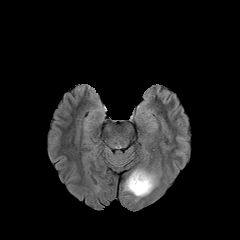
FLAIR MRI.
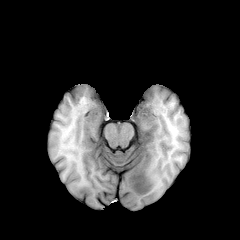
T1-weighted magnetic resonance.
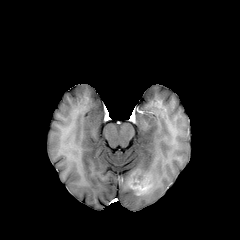
Post-contrast T1-weighted MR.
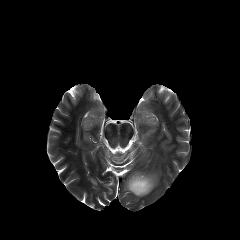
Same slice, T2-weighted MRI.
Head
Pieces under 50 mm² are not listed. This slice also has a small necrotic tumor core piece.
peritumoral edema: [x1=124, y1=169, x2=157, y2=197] | enhancing tumor: [x1=128, y1=172, x2=152, y2=195]